Image size 240x240; Axial plane; Slice 57 of 155; Head
FLAIR MR image.
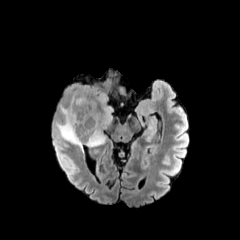
T1-weighted MR image.
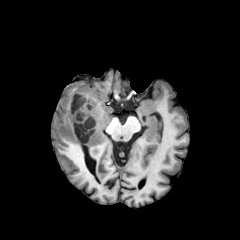
Post-contrast T1-weighted magnetic resonance.
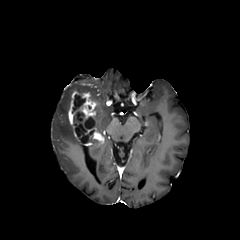
T2-weighted MR image.
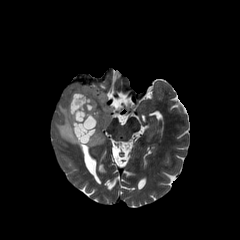
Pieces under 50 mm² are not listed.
enhancing tumor: bounding box {"x1": 68, "y1": 91, "x2": 104, "y2": 145}
peritumoral edema: bounding box {"x1": 55, "y1": 104, "x2": 83, "y2": 150}, {"x1": 77, "y1": 87, "x2": 113, "y2": 142}
necrotic tumor core: bounding box {"x1": 75, "y1": 117, "x2": 94, "y2": 142}, {"x1": 73, "y1": 95, "x2": 84, "y2": 110}